FLAIR MR.
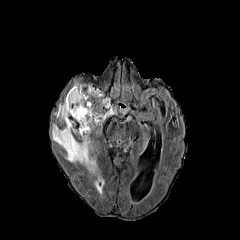
T1-weighted magnetic resonance.
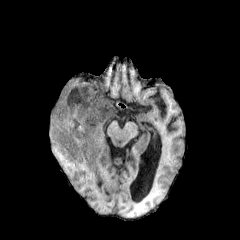
Post-contrast T1-weighted MR image.
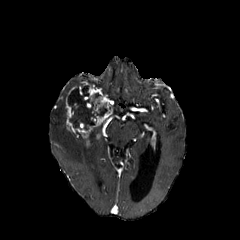
T2-weighted MRI.
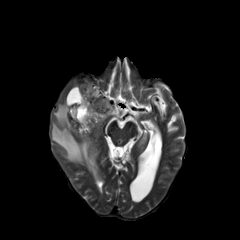
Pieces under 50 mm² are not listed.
necrotic tumor core = 68, 85, 107, 130
enhancing tumor = 65, 83, 113, 145
peritumoral edema = 51, 99, 96, 175